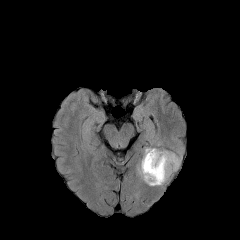
FLAIR MRI.
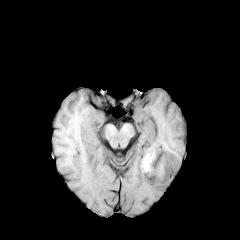
T1-weighted MR.
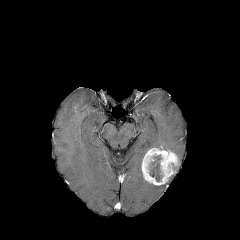
Post-contrast T1-weighted magnetic resonance.
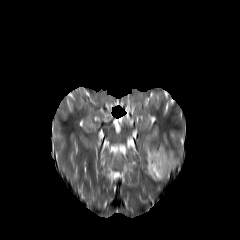
T2-weighted MR.
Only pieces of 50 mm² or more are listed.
peritumoral edema — <box>178,148,182,164</box>, <box>137,158,155,185</box>
enhancing tumor — <box>141,148,179,185</box>
necrotic tumor core — <box>149,155,162,181</box>